Image width 240 mm, 1.00 mm slice spacing; 240x240; Axial view
FLAIR magnetic resonance.
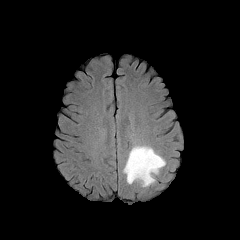
T1-weighted MRI.
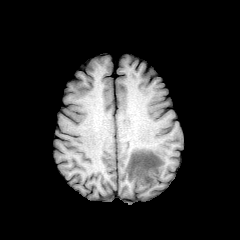
Post-contrast T1-weighted MRI.
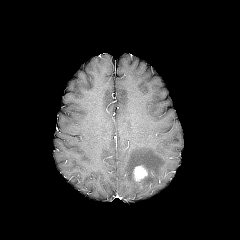
T2-weighted MR image.
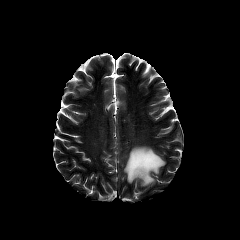
The enhancing tumor is located at region(133, 165, 147, 181). The peritumoral edema appears at region(123, 145, 165, 186).